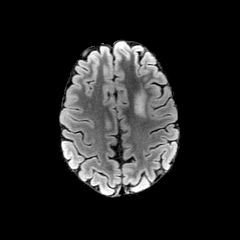
FLAIR magnetic resonance.
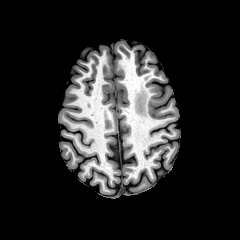
T1-weighted magnetic resonance.
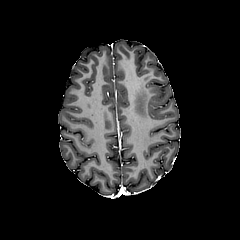
Post-contrast T1-weighted MR.
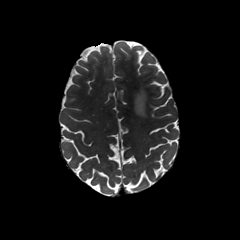
T2-weighted MRI of the same slice.
240x240 px; Axial slice
The peritumoral edema appears at box=[134, 91, 145, 116].